FLAIR magnetic resonance.
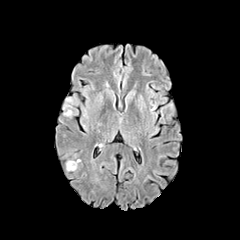
T1-weighted magnetic resonance.
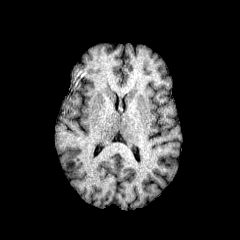
Post-contrast T1-weighted MR image.
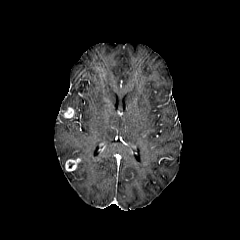
T2-weighted MRI.
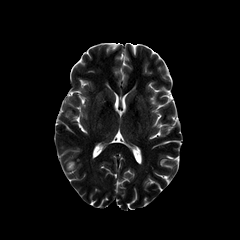
Brain
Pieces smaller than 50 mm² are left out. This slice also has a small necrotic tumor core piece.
The peritumoral edema lies within (63,98,72,110). 2 enhancing tumor regions are located at (63,107,74,118), (65,158,80,171).